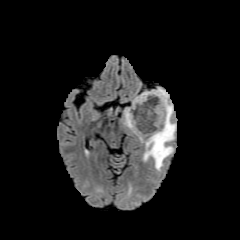
FLAIR MR image.
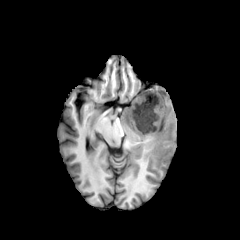
T1-weighted magnetic resonance.
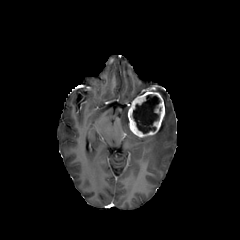
Post-contrast T1-weighted MRI.
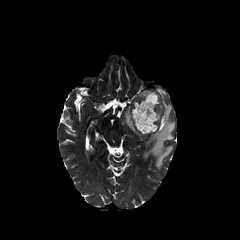
T2-weighted MR image.
Head. Axial slice.
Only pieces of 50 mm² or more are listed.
peritumoral edema — [123, 108, 128, 127], [143, 88, 176, 170]
necrotic tumor core — [133, 95, 160, 133]
enhancing tumor — [128, 90, 164, 137]